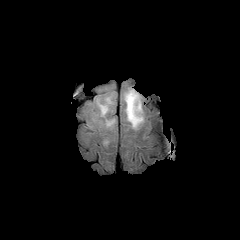
FLAIR MR.
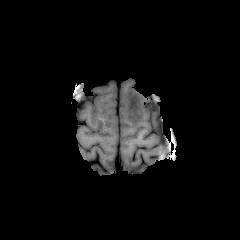
T1-weighted MRI.
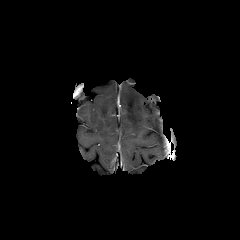
Post-contrast T1-weighted magnetic resonance.
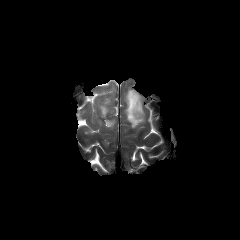
Same slice, T2-weighted MR.
Head | Axial view
<segmentation>
  <peritumoral_edema>region(124, 89, 143, 128); region(99, 98, 110, 116); region(105, 119, 114, 127)</peritumoral_edema>
</segmentation>